FLAIR MRI.
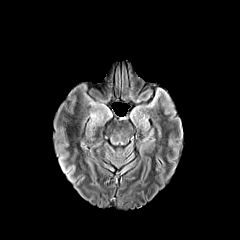
T1-weighted MRI.
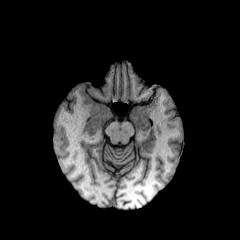
Post-contrast T1-weighted MR image.
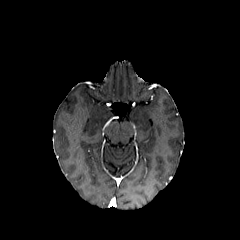
T2-weighted MR image.
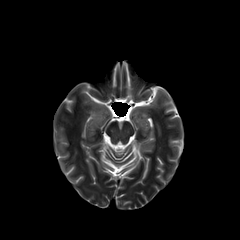
Axial view, Image size 240x240
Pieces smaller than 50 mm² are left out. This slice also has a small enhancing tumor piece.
{"peritumoral_edema": ["91 114 99 120"]}